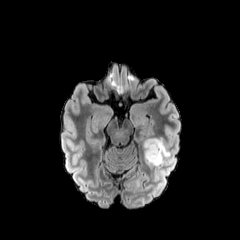
FLAIR MRI.
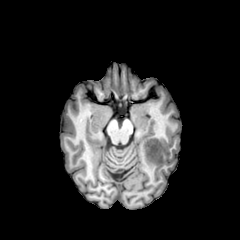
T1-weighted magnetic resonance.
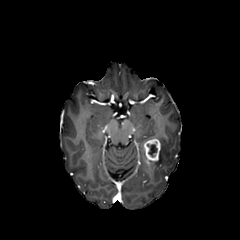
Post-contrast T1-weighted MR of the same slice.
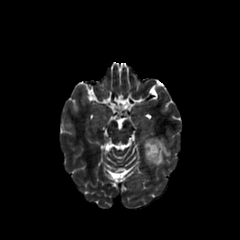
T2-weighted MRI.
Axial plane
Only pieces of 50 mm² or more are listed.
necrotic tumor core: bounding box box=[147, 144, 157, 156]
peritumoral edema: bounding box box=[148, 138, 170, 166]
enhancing tumor: bounding box box=[143, 138, 160, 163]